FLAIR MR image.
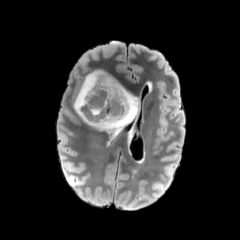
T1-weighted MRI.
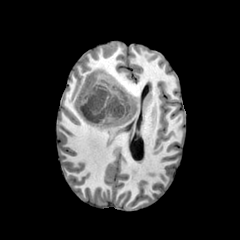
Post-contrast T1-weighted MRI.
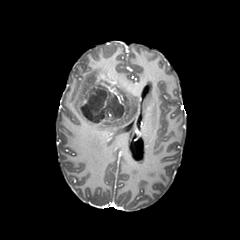
T2-weighted MRI.
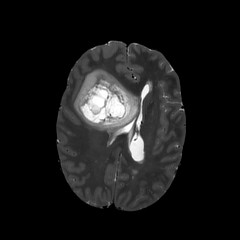
Axial slice
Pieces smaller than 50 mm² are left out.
Segmented structures:
• necrotic tumor core: box=[81, 89, 123, 122]
• peritumoral edema: box=[73, 70, 139, 135]
• enhancing tumor: box=[95, 111, 120, 123]; box=[79, 74, 127, 117]